FLAIR MR image.
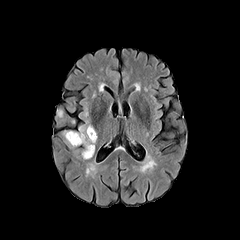
T1-weighted magnetic resonance.
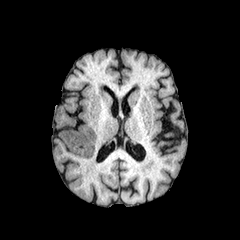
Post-contrast T1-weighted MRI.
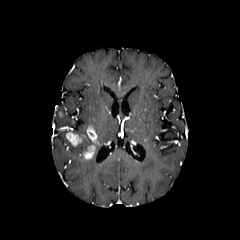
T2-weighted MR.
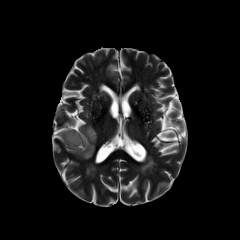
240x240
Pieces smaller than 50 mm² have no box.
• enhancing tumor: <bbox>83, 145, 95, 159</bbox>, <bbox>86, 126, 97, 143</bbox>, <bbox>66, 132, 85, 146</bbox>
• peritumoral edema: <bbox>63, 124, 95, 158</bbox>